FLAIR magnetic resonance.
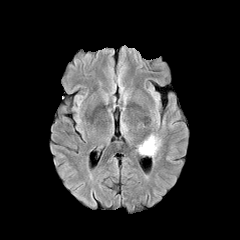
T1-weighted MR image.
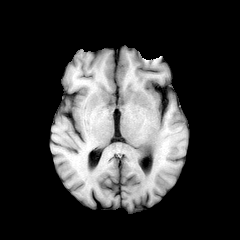
Post-contrast T1-weighted MRI.
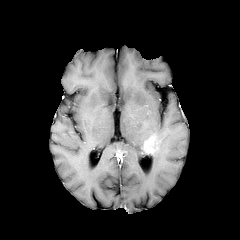
T2-weighted MR.
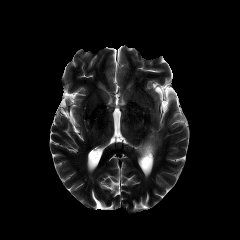
240x240; Head
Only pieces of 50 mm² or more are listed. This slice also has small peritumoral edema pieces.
enhancing tumor: [142, 131, 161, 158]